Slice index 111 | Image width 240 mm
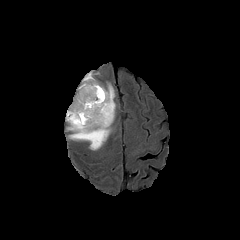
FLAIR MRI.
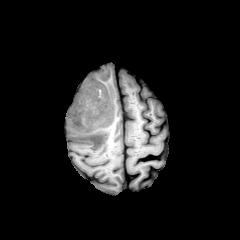
T1-weighted magnetic resonance of the same slice.
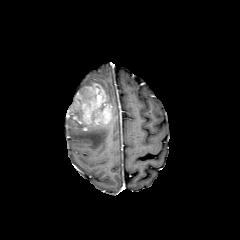
Post-contrast T1-weighted MR.
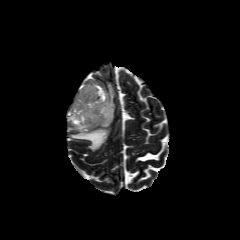
T2-weighted MRI.
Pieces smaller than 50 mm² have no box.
The enhancing tumor is at (66,83,112,130). The 2 largest peritumoral edema regions appear at (67,84,115,150), (84,73,94,80).